Image size 240x240
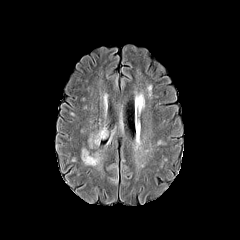
FLAIR MR image.
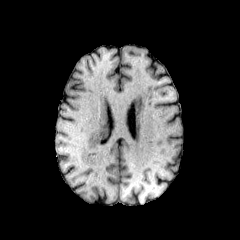
Same slice, T1-weighted MRI.
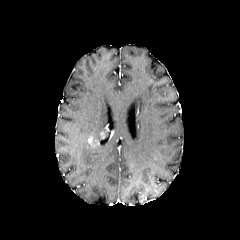
Same slice, post-contrast T1-weighted MR image.
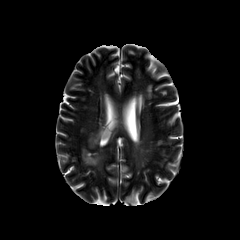
T2-weighted MR image.
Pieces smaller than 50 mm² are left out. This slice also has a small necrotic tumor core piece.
enhancing tumor — left=99, top=131, right=106, bottom=139; left=88, top=135, right=99, bottom=147
peritumoral edema — left=82, top=149, right=102, bottom=168